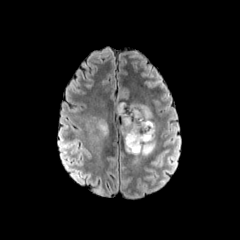
FLAIR MR image.
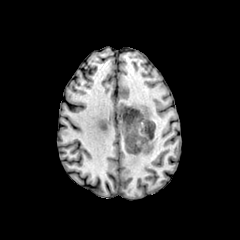
T1-weighted MR.
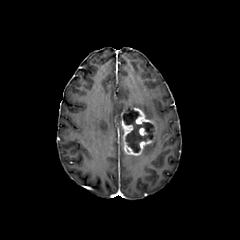
Post-contrast T1-weighted MR image.
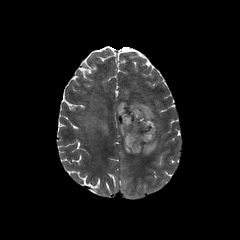
T2-weighted MR.
Brain; Axial slice
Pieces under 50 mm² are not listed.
enhancing tumor at (120, 107, 155, 155)
necrotic tumor core at (122, 109, 153, 152)
peritumoral edema at (117, 102, 126, 115), (142, 127, 156, 154), (128, 103, 153, 119), (97, 119, 108, 135)